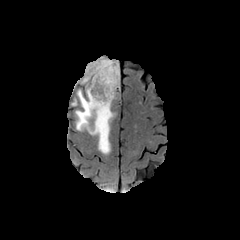
FLAIR magnetic resonance.
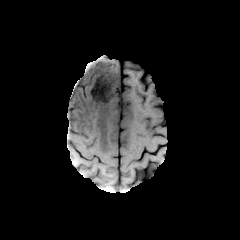
T1-weighted MRI of the same slice.
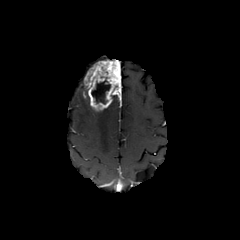
Post-contrast T1-weighted magnetic resonance.
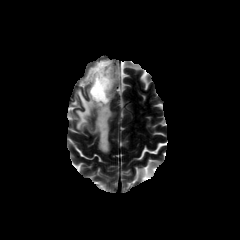
T2-weighted MR image.
Head; 240x240; Axial plane
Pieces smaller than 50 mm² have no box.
Findings:
• necrotic tumor core: 91, 80, 110, 103
• peritumoral edema: 71, 88, 115, 154; 85, 57, 107, 74
• enhancing tumor: 83, 59, 121, 111